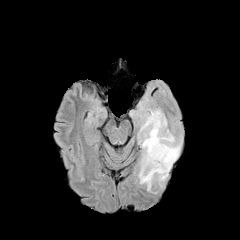
FLAIR MRI.
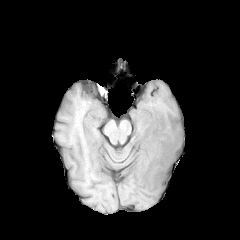
T1-weighted MR image.
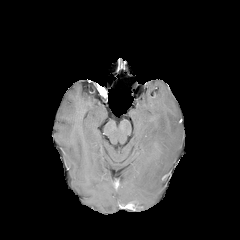
Post-contrast T1-weighted MRI.
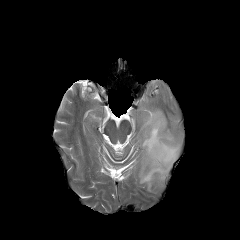
Same slice, T2-weighted magnetic resonance.
Axial view, Image size 240x240, Head
peritumoral edema: bbox(138, 109, 181, 191)